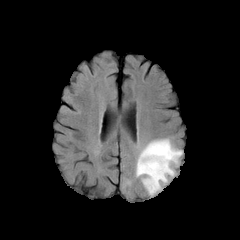
FLAIR MR image.
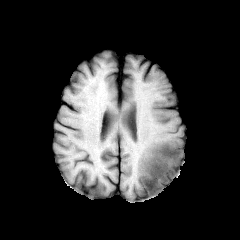
T1-weighted MR of the same slice.
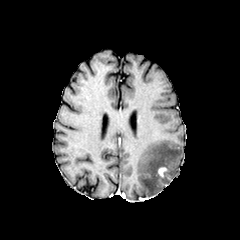
Same slice, post-contrast T1-weighted MR image.
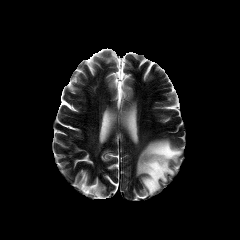
T2-weighted magnetic resonance.
Axial view. Image size 240x240.
<segmentation>
  <peritumoral_edema>box=[136, 138, 183, 195]</peritumoral_edema>
  <enhancing_tumor>box=[157, 167, 167, 177]</enhancing_tumor>
</segmentation>